FLAIR MR image.
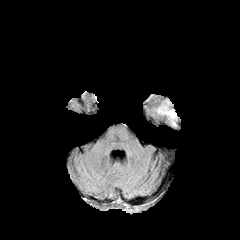
T1-weighted MRI.
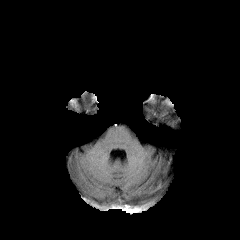
Post-contrast T1-weighted MRI.
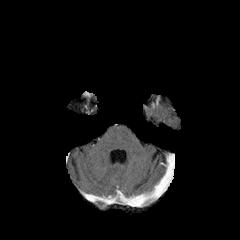
T2-weighted MRI.
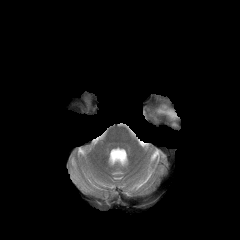
Head. 240x240 px.
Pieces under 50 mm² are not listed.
Findings:
* peritumoral edema: (x1=157, y1=105, x2=176, y2=119)